Axial view; Slice index 76; Brain
FLAIR magnetic resonance.
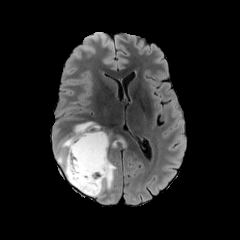
T1-weighted MRI.
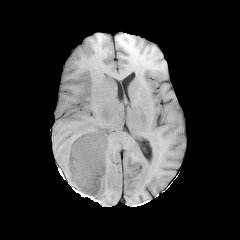
Post-contrast T1-weighted magnetic resonance.
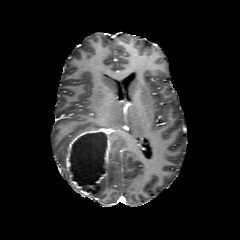
T2-weighted MR.
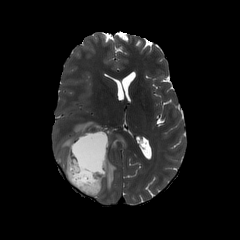
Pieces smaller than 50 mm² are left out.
necrotic tumor core: bounding box {"x1": 70, "y1": 133, "x2": 106, "y2": 193}
peritumoral edema: bounding box {"x1": 56, "y1": 121, "x2": 98, "y2": 181}, {"x1": 95, "y1": 161, "x2": 116, "y2": 196}
enhancing tumor: bounding box {"x1": 65, "y1": 130, "x2": 104, "y2": 197}, {"x1": 96, "y1": 136, "x2": 110, "y2": 186}